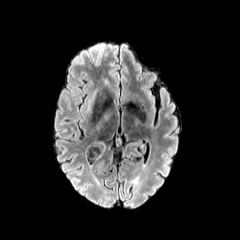
FLAIR MRI.
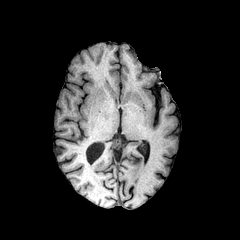
Same slice, T1-weighted MR image.
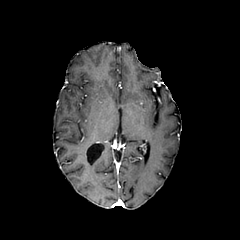
Same slice, post-contrast T1-weighted MR.
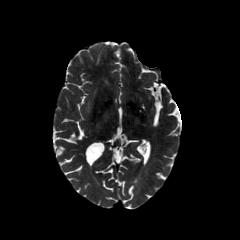
Same slice, T2-weighted MR image.
Axial slice. Brain.
{"peritumoral_edema": ["[x1=89, y1=91, x2=97, y2=110]"]}